FLAIR MR image.
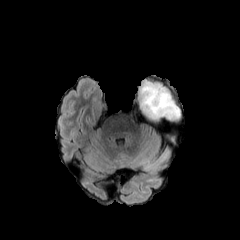
T1-weighted magnetic resonance.
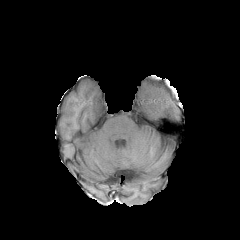
Post-contrast T1-weighted MRI.
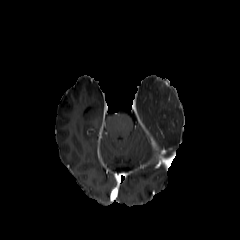
T2-weighted magnetic resonance.
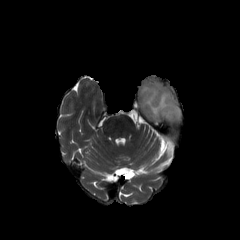
Brain; 240x240 px
{"peritumoral_edema": ["139 81 180 126", "165 131 177 143"], "enhancing_tumor": ["171 112 177 126"]}